Brain | Image width 240 mm, 1.00 mm slice spacing | Image size 240x240 | Slice 56 of 155
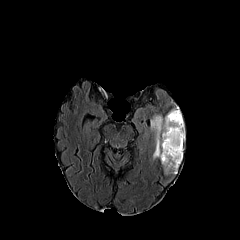
FLAIR MRI.
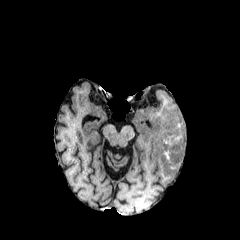
T1-weighted MR image.
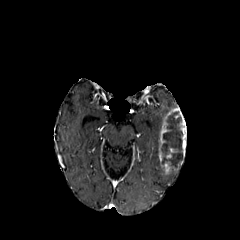
Post-contrast T1-weighted magnetic resonance.
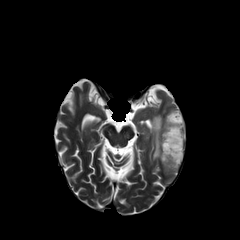
T2-weighted MR image.
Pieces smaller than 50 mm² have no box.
enhancing_tumor:
  - (158, 106, 186, 174)
  - (166, 148, 178, 158)
peritumoral_edema:
  - (150, 114, 162, 159)
necrotic_tumor_core:
  - (161, 112, 183, 167)